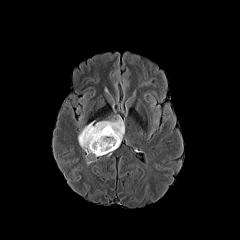
FLAIR magnetic resonance.
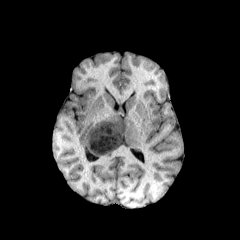
T1-weighted magnetic resonance.
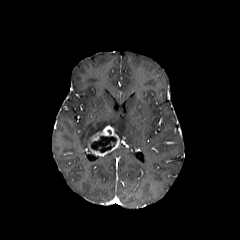
Post-contrast T1-weighted magnetic resonance of the same slice.
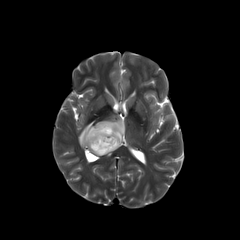
T2-weighted MR of the same slice.
Head, Axial view
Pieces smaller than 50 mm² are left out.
peritumoral edema: (78,117,124,149) | necrotic tumor core: (91,136,116,152) | enhancing tumor: (87,125,120,156)